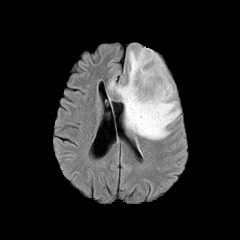
FLAIR magnetic resonance.
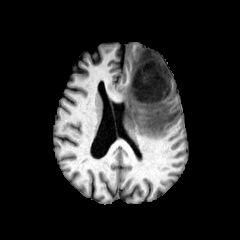
T1-weighted MRI.
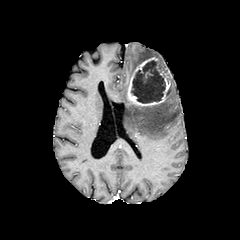
Post-contrast T1-weighted MR.
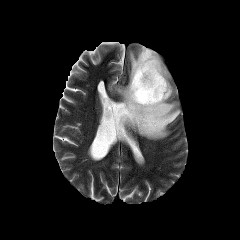
Same slice, T2-weighted MR image.
Head.
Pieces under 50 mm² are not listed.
- necrotic tumor core: (left=131, top=60, right=165, bottom=103)
- peritumoral edema: (left=108, top=47, right=180, bottom=139)
- enhancing tumor: (left=127, top=57, right=170, bottom=106)